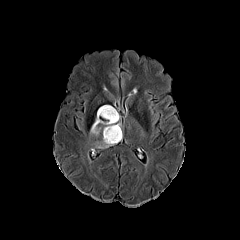
FLAIR magnetic resonance.
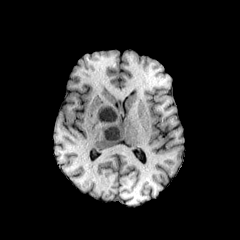
T1-weighted MRI.
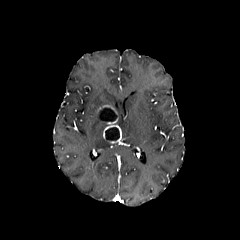
Post-contrast T1-weighted MR of the same slice.
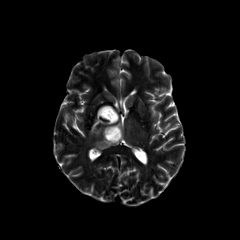
T2-weighted MR image.
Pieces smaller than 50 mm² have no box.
The 2 largest peritumoral edema regions are bounded by [90, 113, 106, 136], [95, 138, 114, 148]. 2 necrotic tumor core regions are bounded by [105, 127, 119, 140], [99, 107, 117, 121]. 2 enhancing tumor regions are located at [102, 115, 121, 143], [97, 105, 117, 118].